Image size 240x240 | Slice 103 of 155 | Brain | Axial view
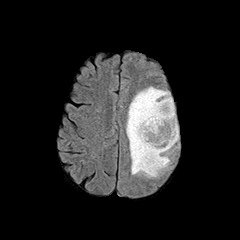
FLAIR MRI.
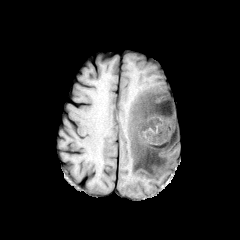
T1-weighted magnetic resonance.
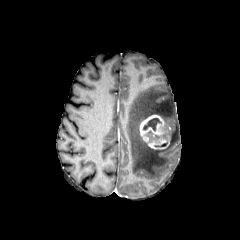
Post-contrast T1-weighted magnetic resonance.
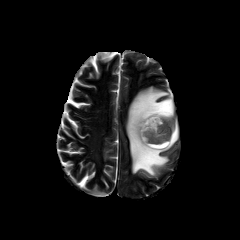
T2-weighted magnetic resonance of the same slice.
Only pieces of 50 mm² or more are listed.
necrotic tumor core: x1=143, y1=118, x2=160, y2=130
peritumoral edema: x1=146, y1=131, x2=159, y2=141; x1=126, y1=86, x2=178, y2=177
enhancing tumor: x1=139, y1=115, x2=169, y2=149